Slice 86/155
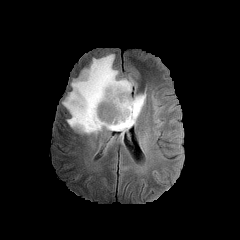
FLAIR magnetic resonance.
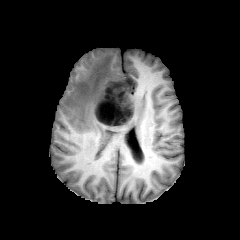
T1-weighted magnetic resonance.
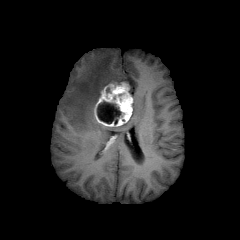
Post-contrast T1-weighted MRI.
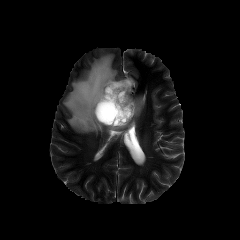
T2-weighted MR of the same slice.
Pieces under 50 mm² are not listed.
necrotic tumor core: bounding box bbox(97, 101, 121, 124)
enhancing tumor: bounding box bbox(93, 82, 133, 126)
peritumoral edema: bounding box bbox(62, 54, 145, 136)